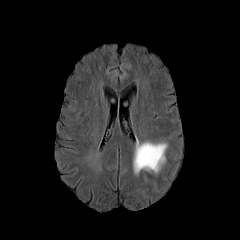
FLAIR MR image.
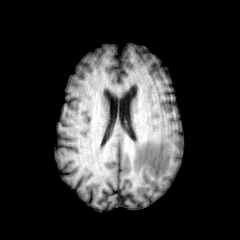
Same slice, T1-weighted MR.
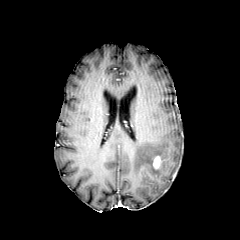
Post-contrast T1-weighted magnetic resonance of the same slice.
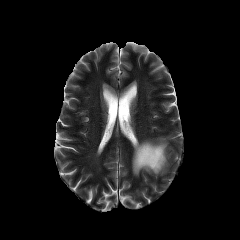
T2-weighted MR image.
Axial view
Findings:
- enhancing tumor: [x1=152, y1=156, x2=161, y2=169]
- peritumoral edema: [x1=133, y1=140, x2=167, y2=174]